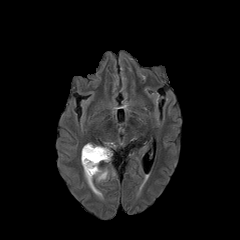
FLAIR MR.
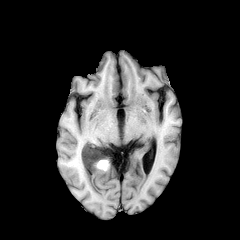
T1-weighted MR image of the same slice.
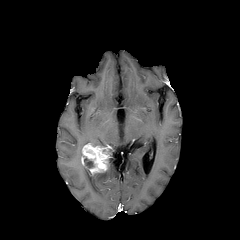
Same slice, post-contrast T1-weighted MR image.
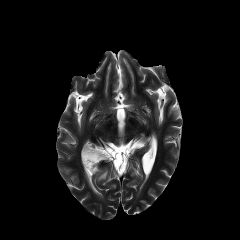
T2-weighted MR of the same slice.
Image size 240x240, Axial plane, Head
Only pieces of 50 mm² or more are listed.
The enhancing tumor is located at box=[81, 143, 112, 175]. The necrotic tumor core appears at box=[84, 158, 93, 167]. The largest peritumoral edema region is bounded by box=[83, 166, 109, 198].